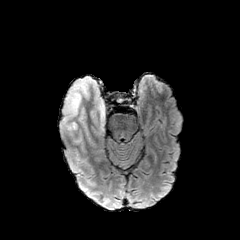
FLAIR MRI.
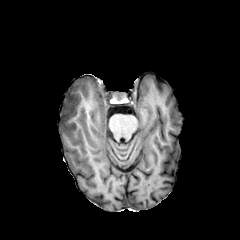
Same slice, T1-weighted MR.
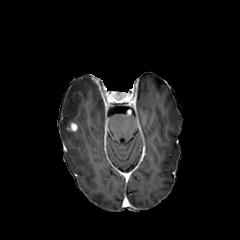
Post-contrast T1-weighted MR.
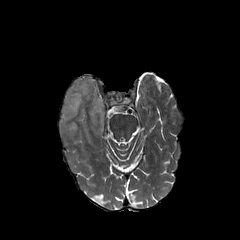
Same slice, T2-weighted MR.
Axial slice; Image size 240x240; Brain
Annotated regions:
- enhancing tumor: l=66, t=123, r=76, b=130
- peritumoral edema: l=61, t=76, r=105, b=143